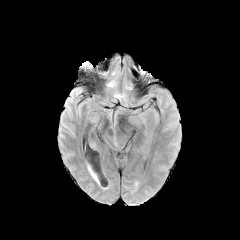
FLAIR MR image.
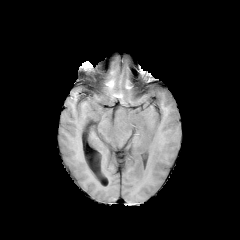
T1-weighted MR of the same slice.
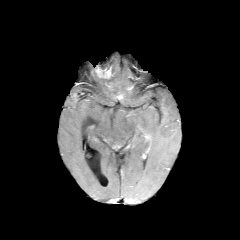
Same slice, post-contrast T1-weighted MRI.
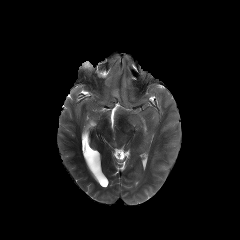
T2-weighted MR of the same slice.
240x240, Axial plane, Brain
peritumoral_edema:
  - <bbox>105, 61, 132, 101</bbox>